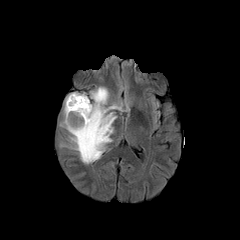
FLAIR MRI.
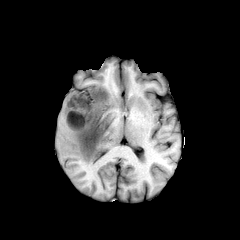
T1-weighted MRI.
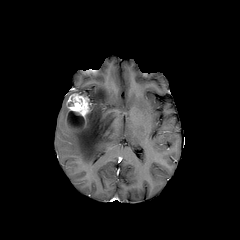
Post-contrast T1-weighted MR.
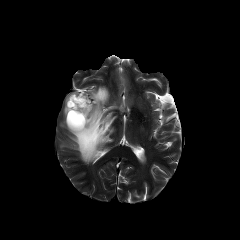
T2-weighted MRI.
Axial view
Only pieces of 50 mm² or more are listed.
The enhancing tumor lies within {"x1": 65, "y1": 93, "x2": 91, "y2": 131}. The largest necrotic tumor core region appears at {"x1": 67, "y1": 111, "x2": 84, "y2": 129}. The 2 largest peritumoral edema regions are bounded by {"x1": 60, "y1": 92, "x2": 77, "y2": 127}, {"x1": 66, "y1": 86, "x2": 121, "y2": 164}.